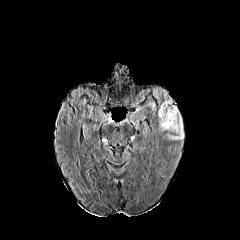
FLAIR MRI.
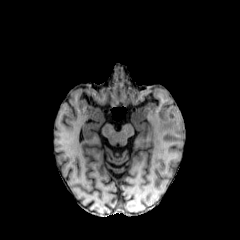
T1-weighted MR of the same slice.
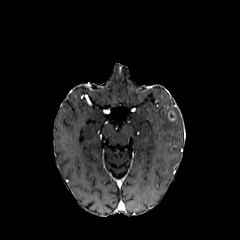
Post-contrast T1-weighted MR image of the same slice.
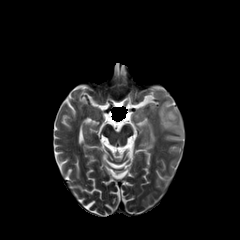
Same slice, T2-weighted MR image.
Head
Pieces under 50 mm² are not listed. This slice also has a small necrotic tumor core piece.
enhancing tumor: region(168, 111, 175, 120)
peritumoral edema: region(158, 98, 183, 140)